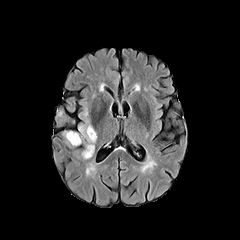
FLAIR MR.
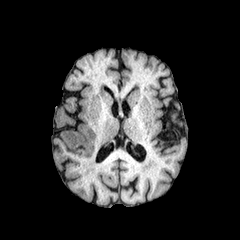
T1-weighted magnetic resonance.
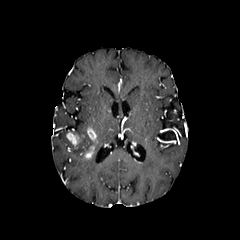
Same slice, post-contrast T1-weighted MR.
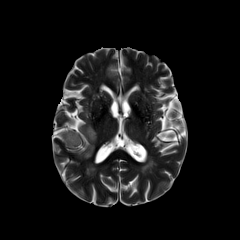
Same slice, T2-weighted MR image.
Axial plane | 240x240
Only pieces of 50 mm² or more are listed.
{
  "enhancing_tumor": [
    "(left=84, top=146, right=94, bottom=158)",
    "(left=87, top=127, right=96, bottom=141)",
    "(left=66, top=132, right=81, bottom=145)"
  ],
  "peritumoral_edema": [
    "(left=64, top=124, right=96, bottom=158)"
  ]
}